Slice 129/155; Image size 240x240
FLAIR MRI.
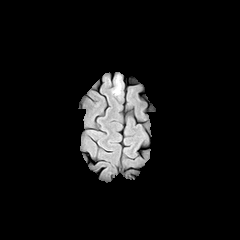
T1-weighted magnetic resonance.
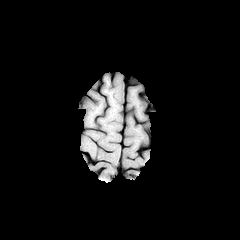
Post-contrast T1-weighted MR.
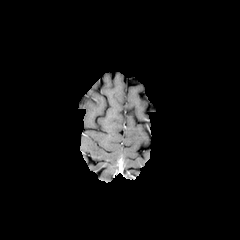
T2-weighted MRI.
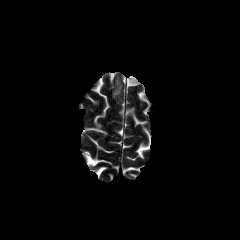
peritumoral edema: [x1=113, y1=78, x2=120, y2=94]